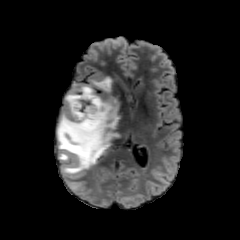
FLAIR MRI.
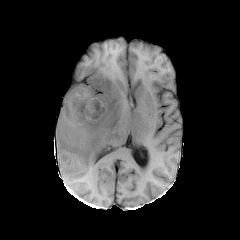
T1-weighted magnetic resonance.
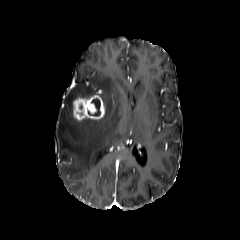
Same slice, post-contrast T1-weighted MR.
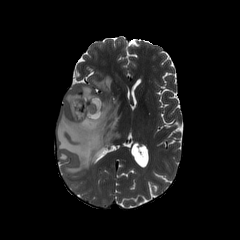
T2-weighted MRI.
Brain
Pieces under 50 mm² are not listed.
peritumoral edema: left=57, top=77, right=121, bottom=173; left=59, top=153, right=68, bottom=160 | enhancing tumor: left=72, top=95, right=105, bottom=121 | necrotic tumor core: left=91, top=98, right=100, bottom=115